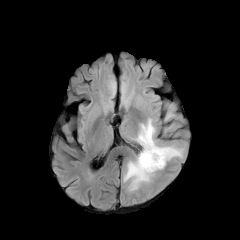
FLAIR MR image.
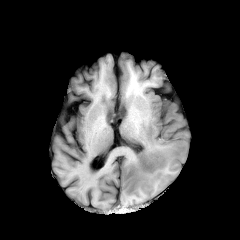
T1-weighted MR image of the same slice.
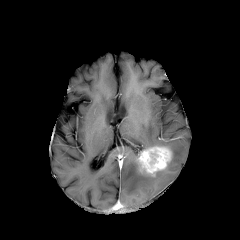
Post-contrast T1-weighted MR of the same slice.
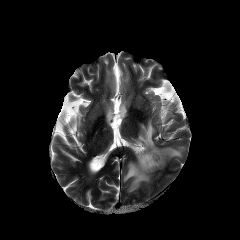
T2-weighted MR of the same slice.
Head.
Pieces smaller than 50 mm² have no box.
peritumoral edema — (left=167, top=146, right=183, bottom=157), (left=165, top=106, right=173, bottom=119), (left=135, top=119, right=156, bottom=149), (left=123, top=159, right=153, bottom=191)
enhancing tumor — (left=137, top=146, right=172, bottom=175)